Slice 118 of 155. Head.
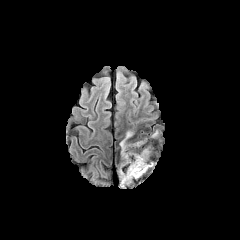
FLAIR MR image.
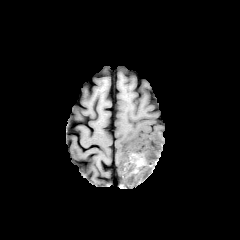
Same slice, T1-weighted MR.
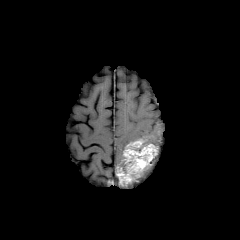
Post-contrast T1-weighted MR image of the same slice.
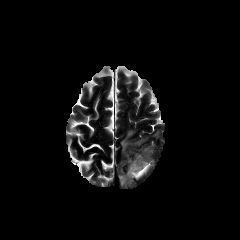
Same slice, T2-weighted MR image.
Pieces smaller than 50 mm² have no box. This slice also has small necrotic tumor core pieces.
enhancing tumor: <bbox>118, 139, 157, 185</bbox>
peritumoral edema: <bbox>120, 131, 133, 156</bbox>